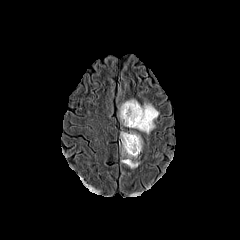
FLAIR magnetic resonance.
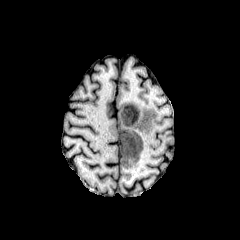
Same slice, T1-weighted magnetic resonance.
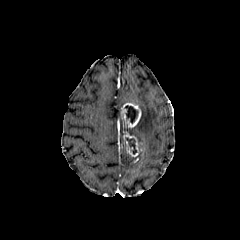
Post-contrast T1-weighted MRI.
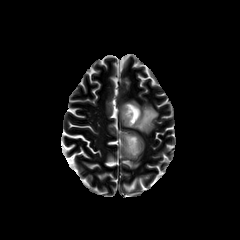
T2-weighted MR image.
240x240 px. Axial slice.
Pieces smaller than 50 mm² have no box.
<segmentation>
  <necrotic_tumor_core>rect(126, 138, 136, 154); rect(125, 105, 137, 123)</necrotic_tumor_core>
  <enhancing_tumor>rect(120, 101, 141, 127); rect(122, 132, 142, 157)</enhancing_tumor>
  <peritumoral_edema>rect(121, 146, 139, 168); rect(127, 99, 158, 133)</peritumoral_edema>
</segmentation>